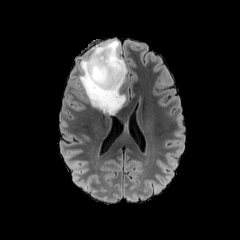
FLAIR MR.
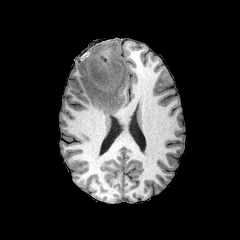
Same slice, T1-weighted MRI.
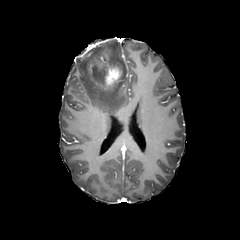
Post-contrast T1-weighted MRI.
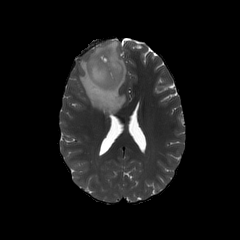
T2-weighted MR image of the same slice.
Axial plane; Brain
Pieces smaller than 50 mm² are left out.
{"peritumoral_edema": ["x1=79, y1=40, x2=126, y2=114"], "enhancing_tumor": ["x1=104, y1=61, x2=121, y2=90"], "necrotic_tumor_core": ["x1=93, y1=66, x2=105, y2=84"]}